Axial slice. 240x240 px.
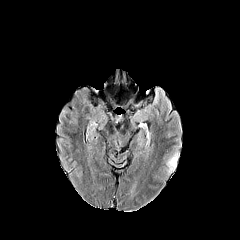
FLAIR MR image.
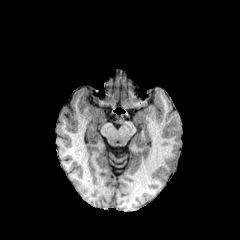
T1-weighted MR image of the same slice.
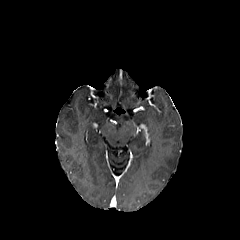
Post-contrast T1-weighted MRI of the same slice.
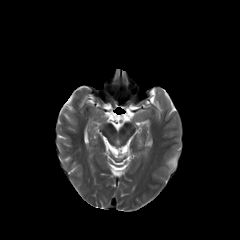
Same slice, T2-weighted MR image.
Findings:
* peritumoral edema: bbox(167, 153, 178, 172)